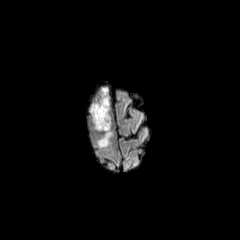
FLAIR MR.
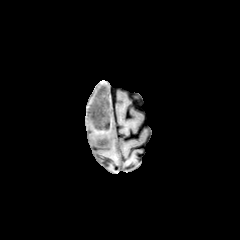
T1-weighted MR of the same slice.
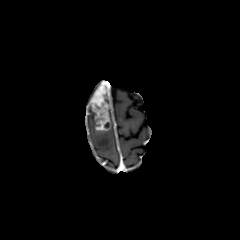
Post-contrast T1-weighted MR of the same slice.
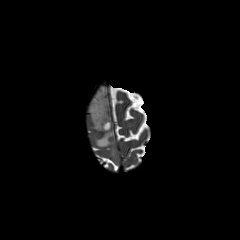
T2-weighted MR.
Axial plane. Head.
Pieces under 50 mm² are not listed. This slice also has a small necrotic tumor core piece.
Annotated regions:
• enhancing tumor: 92:87:110:130
• peritumoral edema: 104:87:109:104, 95:128:113:148, 89:103:96:130